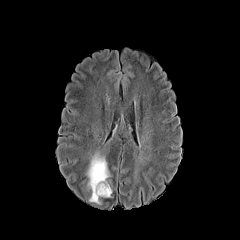
FLAIR magnetic resonance.
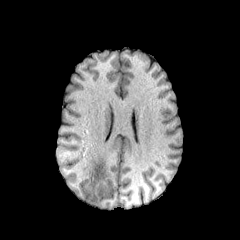
T1-weighted MR image of the same slice.
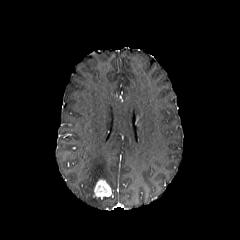
Same slice, post-contrast T1-weighted magnetic resonance.
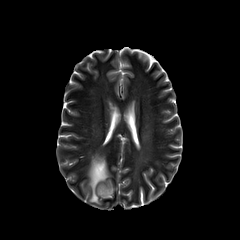
T2-weighted MR.
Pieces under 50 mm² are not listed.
necrotic tumor core: bbox(95, 181, 108, 193) | enhancing tumor: bbox(93, 179, 111, 197) | peritumoral edema: bbox(86, 153, 110, 204)